Brain | Image size 240x240
FLAIR MRI.
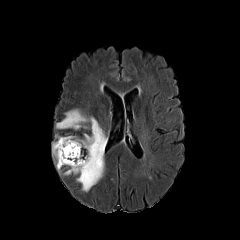
T1-weighted MR image.
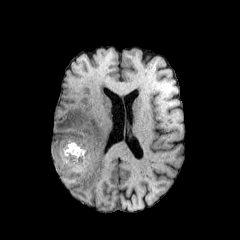
Post-contrast T1-weighted magnetic resonance.
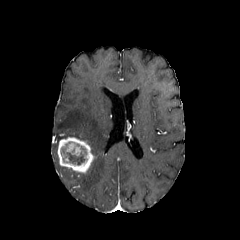
T2-weighted MR.
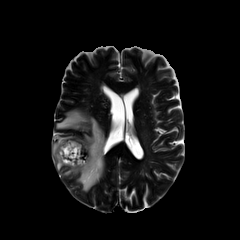
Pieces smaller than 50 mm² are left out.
<segmentation>
  <peritumoral_edema>(52,137,66,170), (56,109,107,191)</peritumoral_edema>
  <enhancing_tumor>(57,137,95,173)</enhancing_tumor>
  <necrotic_tumor_core>(61,144,86,164)</necrotic_tumor_core>
</segmentation>